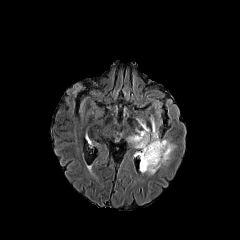
FLAIR MRI.
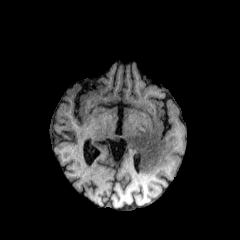
T1-weighted MR.
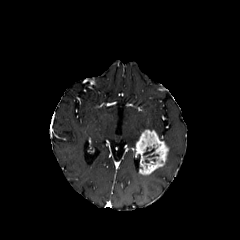
Post-contrast T1-weighted magnetic resonance.
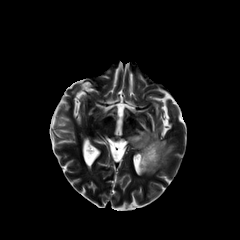
T2-weighted MRI.
Image size 240x240; Axial view
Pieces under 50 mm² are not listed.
necrotic_tumor_core:
  - left=143, top=147, right=158, bottom=157
peritumoral_edema:
  - left=127, top=119, right=148, bottom=147
  - left=162, top=139, right=175, bottom=159
  - left=150, top=117, right=158, bottom=135
enhancing_tumor:
  - left=135, top=129, right=168, bottom=174